Slice index 75
FLAIR MRI.
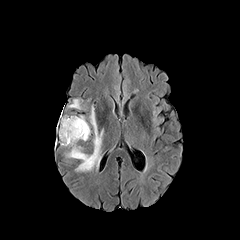
T1-weighted magnetic resonance.
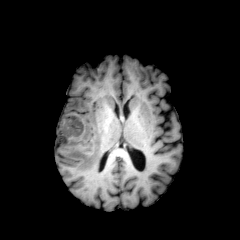
Post-contrast T1-weighted magnetic resonance.
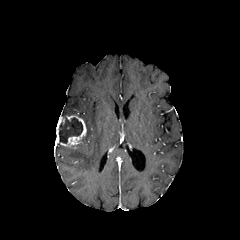
T2-weighted magnetic resonance.
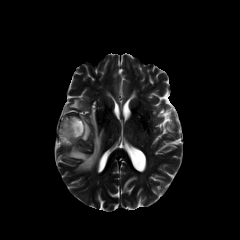
The necrotic tumor core is at 59 117 82 143. 3 peritumoral edema regions appear at 66 106 103 171, 80 115 90 140, 68 99 81 109. The enhancing tumor lies within 56 115 86 149.